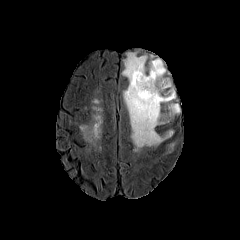
FLAIR MR.
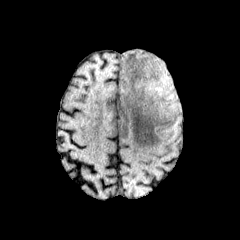
Same slice, T1-weighted MR.
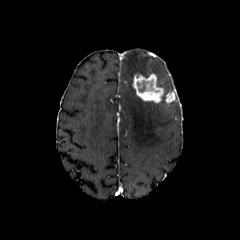
Post-contrast T1-weighted MR image of the same slice.
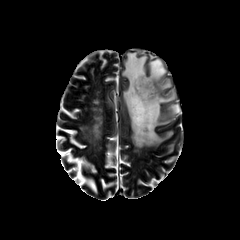
Same slice, T2-weighted MRI.
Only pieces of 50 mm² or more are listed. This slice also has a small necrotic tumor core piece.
The 3 largest peritumoral edema regions are bounded by left=122, top=52, right=173, bottom=151; left=168, top=103, right=180, bottom=116; left=149, top=59, right=172, bottom=89. The largest enhancing tumor region is located at left=132, top=73, right=176, bottom=103.